Slice 121/155 | Axial slice
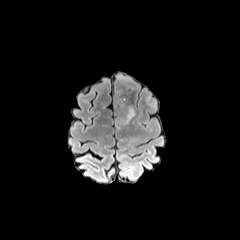
FLAIR magnetic resonance.
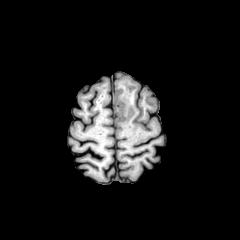
T1-weighted MRI of the same slice.
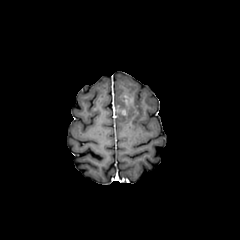
Post-contrast T1-weighted MR image of the same slice.
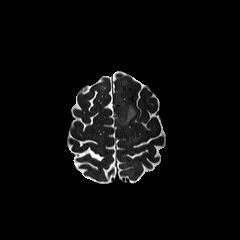
T2-weighted MR.
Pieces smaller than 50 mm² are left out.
The largest enhancing tumor region is located at x1=116 y1=106 x2=125 y2=115. The largest peritumoral edema region is bounded by x1=116 y1=97 x2=135 y2=124.